FLAIR magnetic resonance.
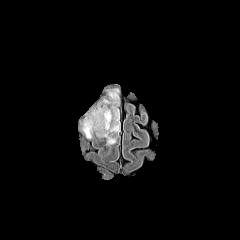
T1-weighted MR.
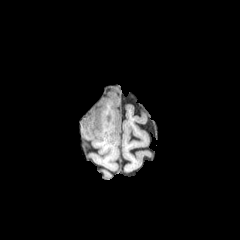
Post-contrast T1-weighted MR.
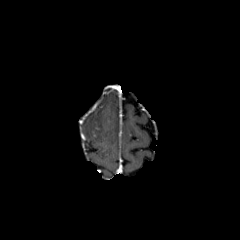
T2-weighted MR.
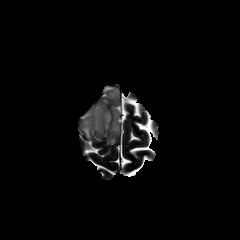
Axial plane
peritumoral edema = bbox=[81, 91, 119, 144]